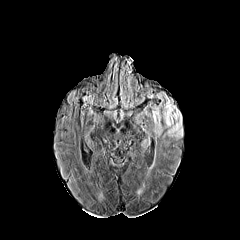
FLAIR MR image.
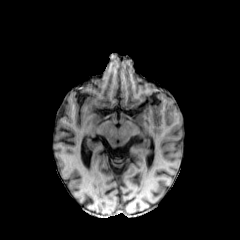
T1-weighted MR.
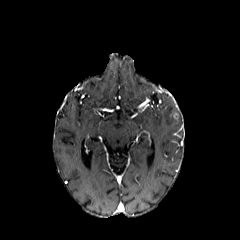
Post-contrast T1-weighted MR image.
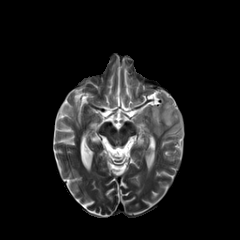
Same slice, T2-weighted MR.
240x240, Axial plane
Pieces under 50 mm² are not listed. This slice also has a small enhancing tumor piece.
peritumoral edema: (152, 96, 182, 136)